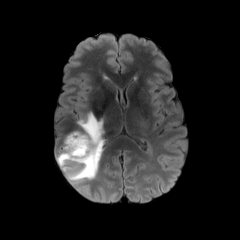
FLAIR MR.
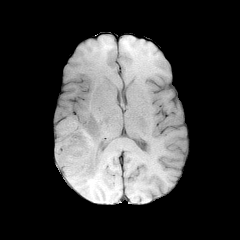
Same slice, T1-weighted MR image.
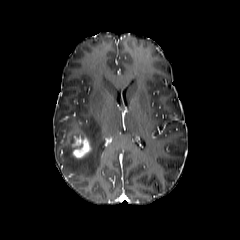
Post-contrast T1-weighted MR image.
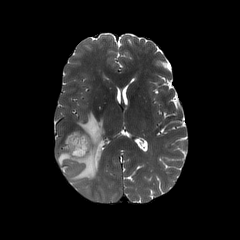
Same slice, T2-weighted MR image.
Axial view
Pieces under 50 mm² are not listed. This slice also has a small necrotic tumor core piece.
The peritumoral edema is at box(56, 112, 104, 182). The enhancing tumor is at box(72, 135, 91, 158).